240x240, Head
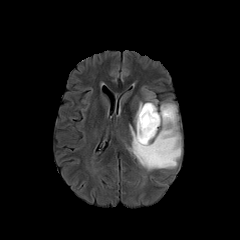
FLAIR MRI.
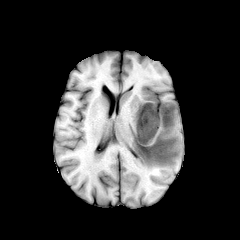
T1-weighted MR.
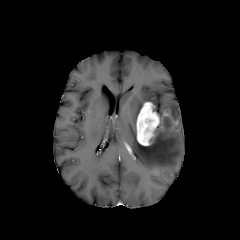
Post-contrast T1-weighted magnetic resonance.
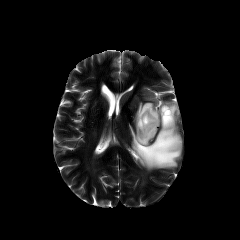
T2-weighted MR of the same slice.
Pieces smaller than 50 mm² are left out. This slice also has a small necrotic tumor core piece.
peritumoral edema — 147 94 157 105, 134 102 143 127, 129 124 181 170, 158 101 178 121
enhancing tumor — 136 102 177 145